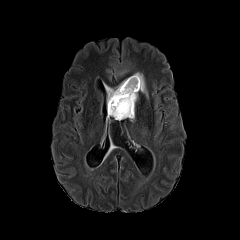
FLAIR magnetic resonance.
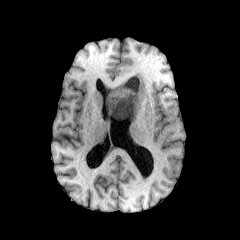
T1-weighted MR.
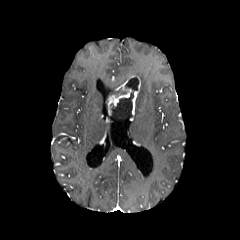
Post-contrast T1-weighted MRI.
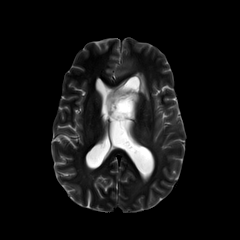
T2-weighted MR image.
Brain
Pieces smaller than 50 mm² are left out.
The 2 largest peritumoral edema regions are located at [104,83,120,97], [134,72,148,98]. The largest necrotic tumor core region is bounded by [110,77,138,120]. The enhancing tumor lies within [107,75,140,120].